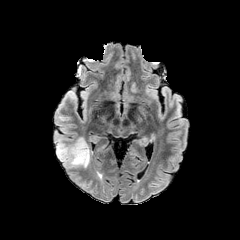
FLAIR MR image.
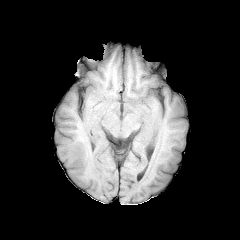
T1-weighted MR image of the same slice.
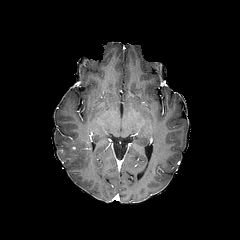
Post-contrast T1-weighted MR image of the same slice.
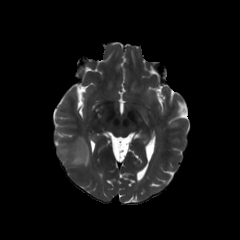
T2-weighted MR image.
Axial plane
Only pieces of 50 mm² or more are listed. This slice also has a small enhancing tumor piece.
Segmented structures:
* peritumoral edema: {"x1": 56, "y1": 137, "x2": 90, "y2": 167}